Image size 240x240, Slice 84/155, Image width 240 mm, Head
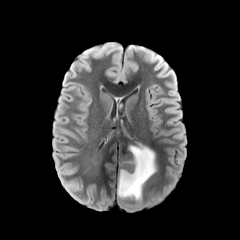
FLAIR MRI.
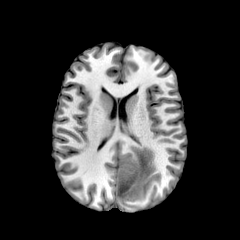
T1-weighted MRI of the same slice.
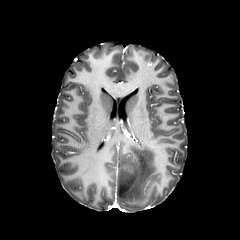
Post-contrast T1-weighted MR image of the same slice.
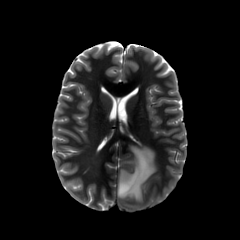
T2-weighted magnetic resonance.
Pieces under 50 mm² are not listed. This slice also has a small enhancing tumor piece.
peritumoral edema: box(117, 145, 156, 202) | necrotic tumor core: box(123, 153, 138, 175)